FLAIR magnetic resonance.
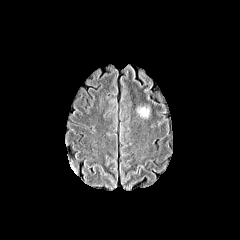
T1-weighted magnetic resonance.
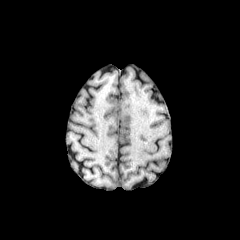
Post-contrast T1-weighted MR image.
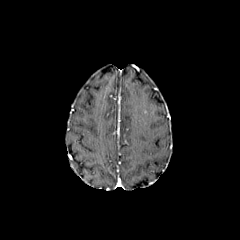
T2-weighted MR.
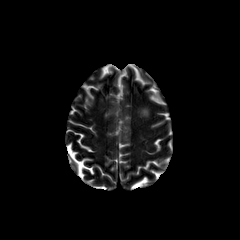
Segmented structures:
* peritumoral edema: (left=138, top=107, right=149, bottom=117)